Brain
FLAIR magnetic resonance.
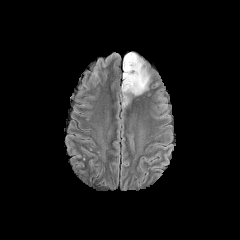
T1-weighted MRI.
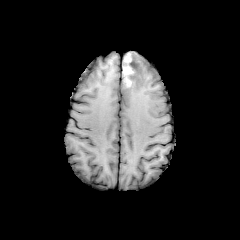
Post-contrast T1-weighted magnetic resonance.
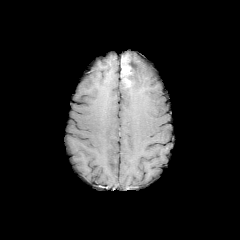
T2-weighted MR image.
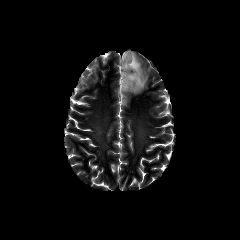
{"enhancing_tumor": ["region(122, 56, 133, 87)"], "peritumoral_edema": ["region(121, 52, 149, 105)"], "necrotic_tumor_core": ["region(124, 55, 136, 89)"]}